FLAIR MRI.
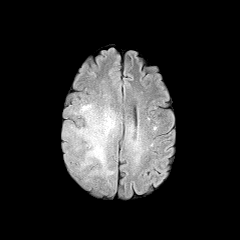
T1-weighted MR.
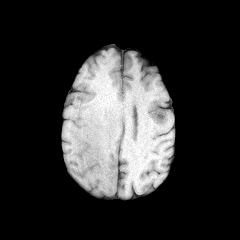
Post-contrast T1-weighted magnetic resonance.
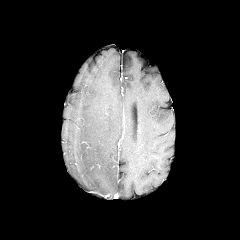
T2-weighted magnetic resonance.
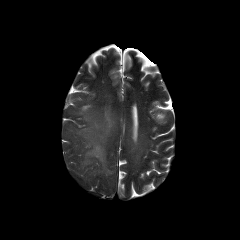
Brain, Axial view
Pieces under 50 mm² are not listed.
<segmentation>
  <peritumoral_edema>x1=70 y1=103 x2=119 y2=178</peritumoral_edema>
</segmentation>